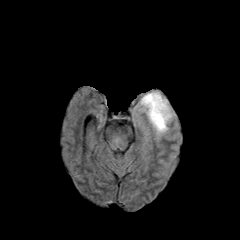
FLAIR magnetic resonance.
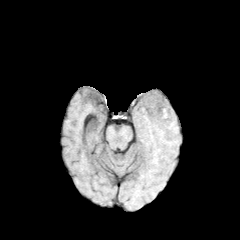
T1-weighted MRI.
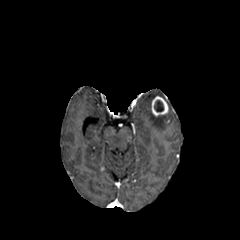
Post-contrast T1-weighted MR image.
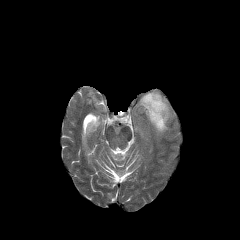
T2-weighted MR image of the same slice.
Brain. 240x240.
necrotic tumor core: box=[154, 100, 163, 111] | enhancing tumor: box=[151, 96, 168, 116] | peritumoral edema: box=[141, 92, 171, 133]